Image width 240 mm | Slice 118 of 155 | Brain | Axial view
FLAIR MR.
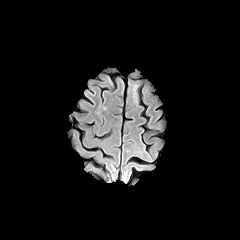
T1-weighted MR image.
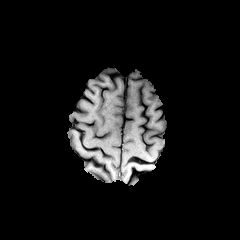
Post-contrast T1-weighted magnetic resonance.
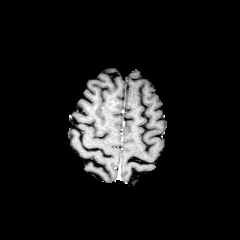
T2-weighted MR image.
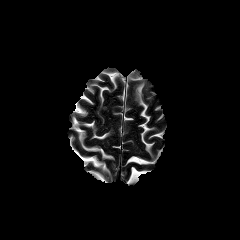
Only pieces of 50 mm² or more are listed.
peritumoral edema — {"x1": 133, "y1": 85, "x2": 137, "y2": 101}